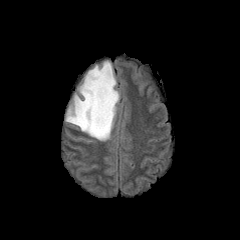
FLAIR magnetic resonance.
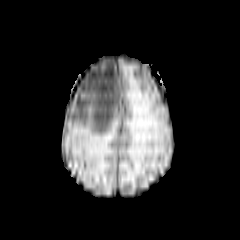
T1-weighted magnetic resonance.
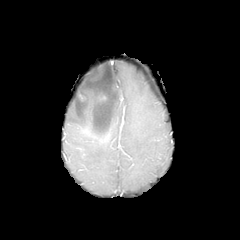
Post-contrast T1-weighted MRI of the same slice.
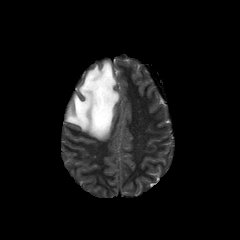
T2-weighted MRI of the same slice.
Image size 240x240; Axial slice; Head
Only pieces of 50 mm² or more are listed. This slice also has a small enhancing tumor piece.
<segmentation>
  <peritumoral_edema>box=[65, 60, 119, 140]</peritumoral_edema>
</segmentation>